Head. Image covers 240 mm x 240 mm.
FLAIR MRI.
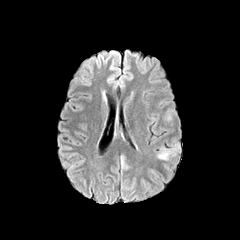
T1-weighted magnetic resonance.
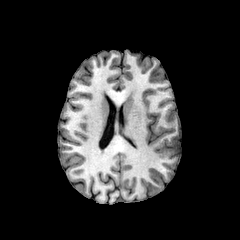
Post-contrast T1-weighted magnetic resonance.
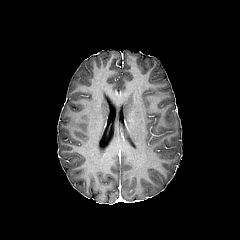
T2-weighted MR.
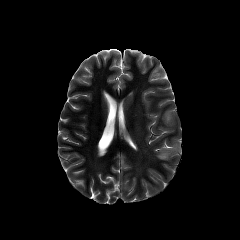
peritumoral edema: (164,111,171,121), (157,143,179,159)